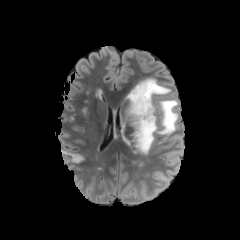
FLAIR MRI.
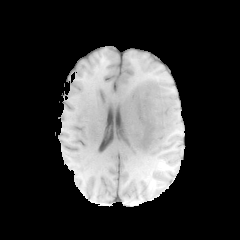
T1-weighted MR image.
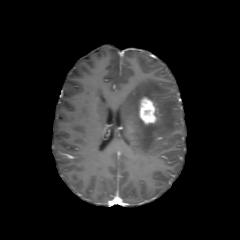
Same slice, post-contrast T1-weighted MR.
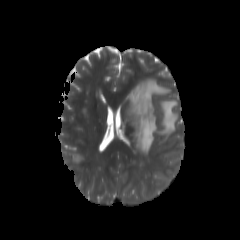
T2-weighted MR image of the same slice.
Brain
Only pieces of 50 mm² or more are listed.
Annotated regions:
* peritumoral edema: rect(126, 78, 178, 154)
* enhancing tumor: rect(139, 97, 157, 124)